Head, Slice 85/155
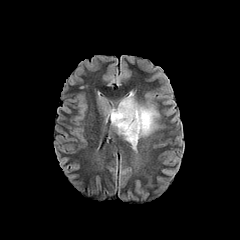
FLAIR magnetic resonance.
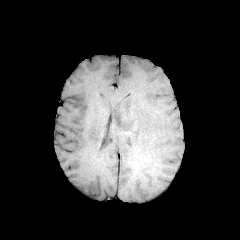
Same slice, T1-weighted magnetic resonance.
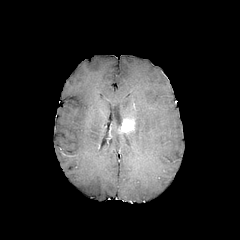
Post-contrast T1-weighted MR image.
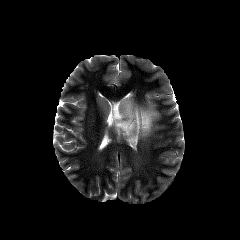
T2-weighted magnetic resonance.
• enhancing tumor: (x1=119, y1=117, x2=135, y2=134)
• peritumoral edema: (x1=110, y1=92, x2=157, y2=149)